Brain; Slice 110/155
FLAIR MRI.
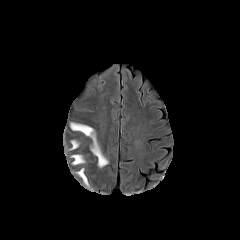
T1-weighted magnetic resonance.
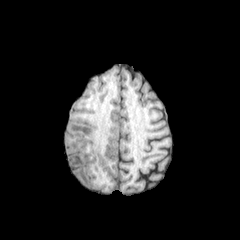
Post-contrast T1-weighted MRI.
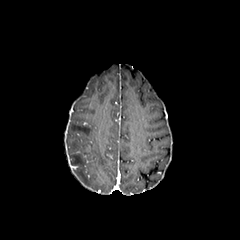
T2-weighted MR.
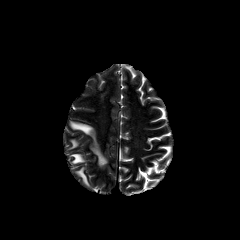
peritumoral_edema:
  - l=71, t=154, r=84, b=164
  - l=70, t=140, r=79, b=149
  - l=70, t=122, r=108, b=167
  - l=76, t=168, r=89, b=186